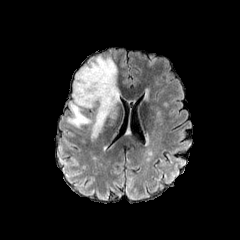
FLAIR magnetic resonance.
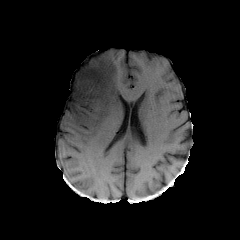
T1-weighted MRI.
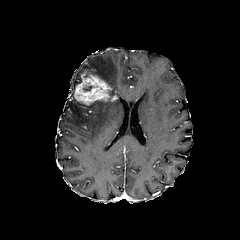
Post-contrast T1-weighted MR image.
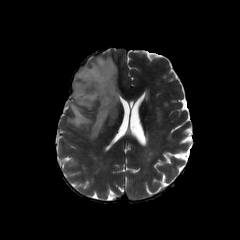
T2-weighted magnetic resonance of the same slice.
Axial plane. Brain.
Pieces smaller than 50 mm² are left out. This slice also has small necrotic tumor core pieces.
peritumoral_edema:
  - (x1=67, y1=56, x2=119, y2=138)
enhancing_tumor:
  - (x1=73, y1=70, x2=118, y2=105)